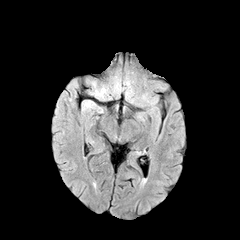
FLAIR MR.
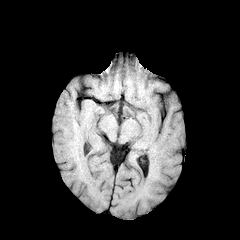
T1-weighted MRI.
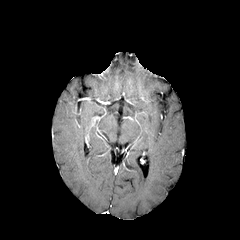
Post-contrast T1-weighted magnetic resonance.
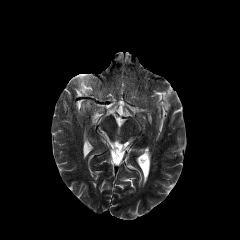
T2-weighted MR image.
Axial plane | Brain
{"peritumoral_edema": ["(x1=95, y1=89, x2=105, y2=96)"]}